Slice index 64. Image covers 240 mm x 240 mm.
FLAIR MR.
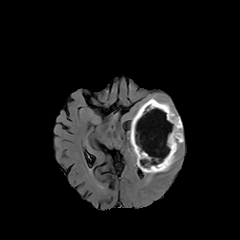
T1-weighted MR.
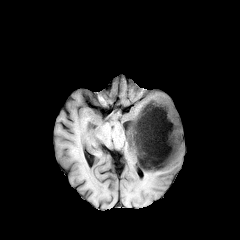
Post-contrast T1-weighted magnetic resonance.
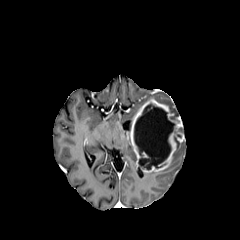
T2-weighted magnetic resonance.
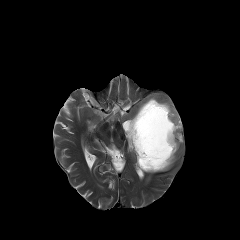
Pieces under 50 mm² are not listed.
peritumoral_edema:
  - <box>159,151,176,171</box>
  - <box>138,95,178,116</box>
necrotic_tumor_core:
  - <box>134,103,174,169</box>
enhancing_tumor:
  - <box>129,98,184,172</box>